FLAIR MRI.
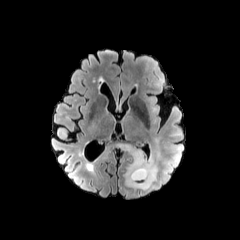
T1-weighted MR image.
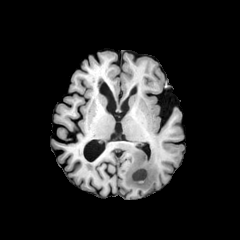
Post-contrast T1-weighted MRI.
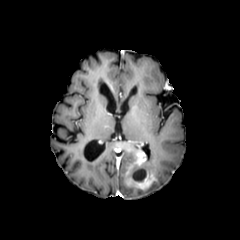
T2-weighted MRI.
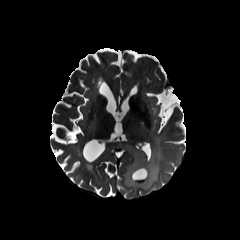
Axial view | Brain
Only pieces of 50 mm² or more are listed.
Findings:
• enhancing tumor: [116, 143, 156, 189]
• peritumoral edema: [123, 140, 161, 194]
• necrotic tumor core: [132, 167, 146, 181]